Axial view, Slice 95 of 155
FLAIR MRI.
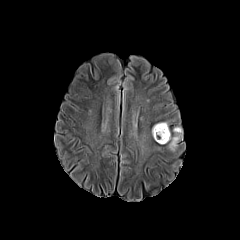
T1-weighted magnetic resonance.
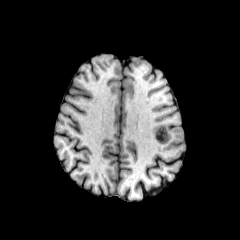
Post-contrast T1-weighted magnetic resonance.
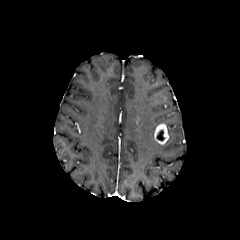
T2-weighted MR.
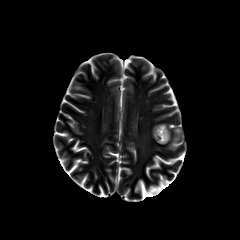
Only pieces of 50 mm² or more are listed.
peritumoral edema = x1=152, y1=122, x2=168, y2=134; x1=166, y1=127, x2=182, y2=150
necrotic tumor core = x1=156, y1=130, x2=164, y2=140
enhancing tumor = x1=154, y1=124, x2=169, y2=144